FLAIR MR image.
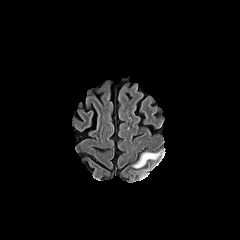
T1-weighted MRI.
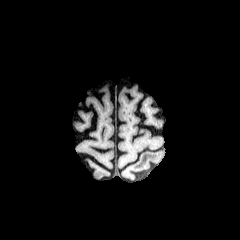
Post-contrast T1-weighted MRI.
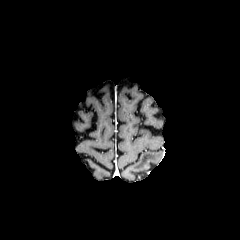
T2-weighted MRI.
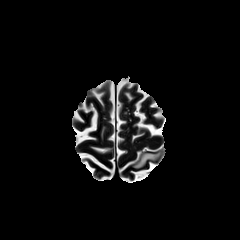
Brain; 240x240; Axial plane
* peritumoral edema: (left=134, top=152, right=162, bottom=168)